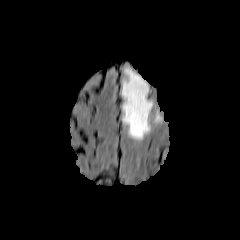
FLAIR MR.
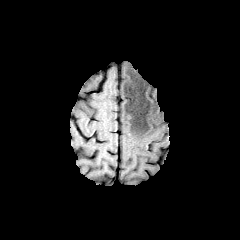
T1-weighted MRI.
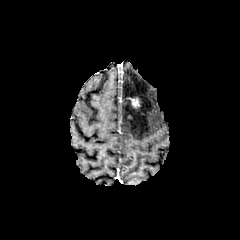
Post-contrast T1-weighted MR image.
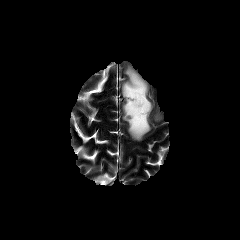
T2-weighted MR image of the same slice.
Head
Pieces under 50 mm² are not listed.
{"enhancing_tumor": ["<box>130,97,141,108</box>"], "peritumoral_edema": ["<box>122,67,152,140</box>"]}